Brain
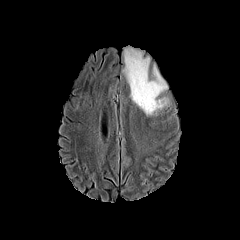
FLAIR magnetic resonance.
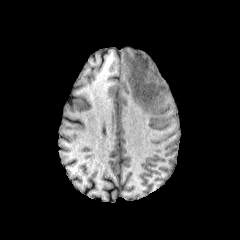
T1-weighted MRI.
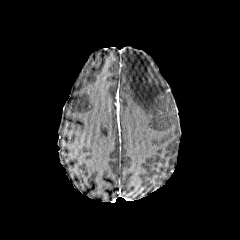
Post-contrast T1-weighted MR image of the same slice.
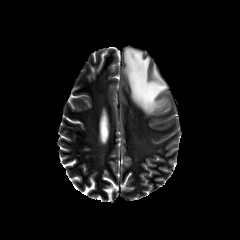
T2-weighted MR.
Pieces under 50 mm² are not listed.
{
  "peritumoral_edema": [
    "<box>123,45,169,116</box>"
  ]
}